Slice 129/155; Axial slice
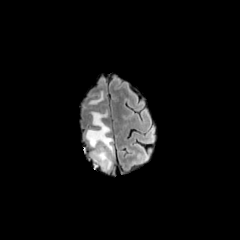
FLAIR MRI.
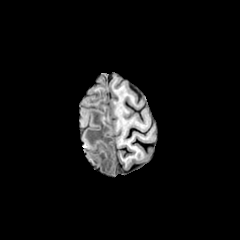
Same slice, T1-weighted MR.
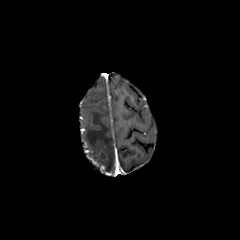
Post-contrast T1-weighted MR.
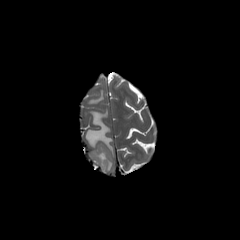
T2-weighted MRI.
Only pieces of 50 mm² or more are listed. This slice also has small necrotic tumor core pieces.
{"peritumoral_edema": ["(85, 111, 114, 171)", "(88, 91, 104, 104)"], "enhancing_tumor": ["(86, 151, 106, 170)"]}